Image size 240x240
FLAIR MRI.
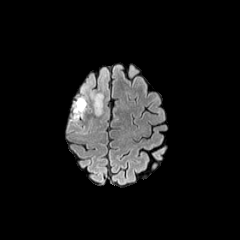
T1-weighted MR.
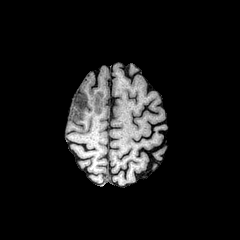
Post-contrast T1-weighted magnetic resonance.
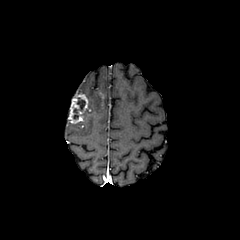
T2-weighted magnetic resonance.
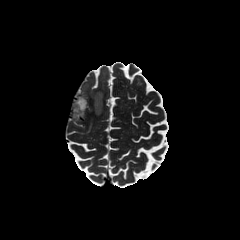
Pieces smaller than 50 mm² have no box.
{
  "necrotic_tumor_core": [
    "[x1=77, y1=98, x2=85, y2=110]"
  ],
  "peritumoral_edema": [
    "[x1=92, y1=71, x2=107, y2=115]"
  ],
  "enhancing_tumor": [
    "[x1=68, y1=93, x2=88, y2=123]"
  ]
}